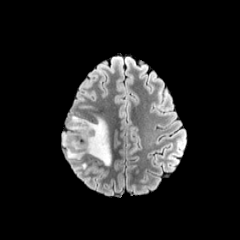
FLAIR magnetic resonance.
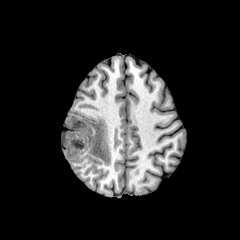
Same slice, T1-weighted MRI.
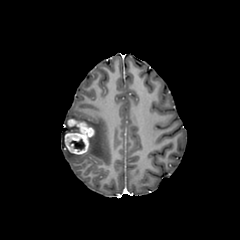
Post-contrast T1-weighted MR.
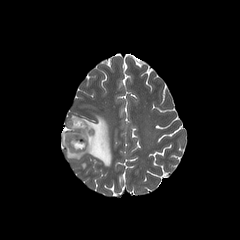
Same slice, T2-weighted MRI.
240x240 px
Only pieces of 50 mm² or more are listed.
peritumoral edema — left=61, top=113, right=111, bottom=165
enhancing tumor — left=64, top=118, right=94, bottom=154
necrotic tumor core — left=70, top=139, right=85, bottom=150